FLAIR MR.
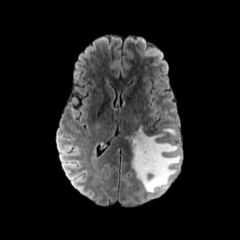
T1-weighted MRI.
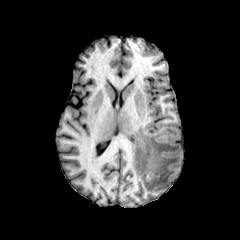
Post-contrast T1-weighted MR.
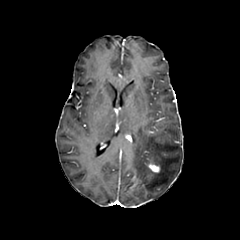
T2-weighted MR image.
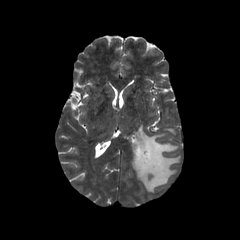
Axial slice. 240x240.
{
  "enhancing_tumor": [
    "<bbox>145, 157, 161, 173</bbox>"
  ],
  "peritumoral_edema": [
    "<bbox>125, 127, 181, 193</bbox>"
  ]
}